FLAIR MR image.
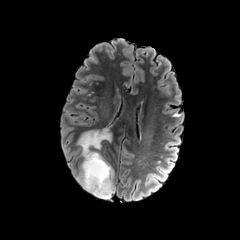
T1-weighted magnetic resonance.
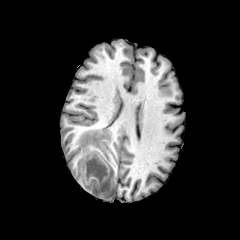
Post-contrast T1-weighted magnetic resonance.
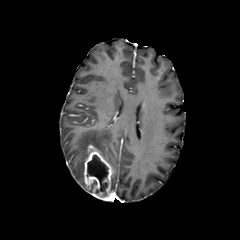
T2-weighted MR image.
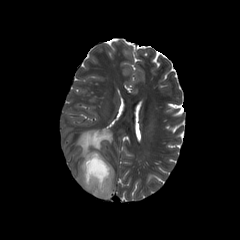
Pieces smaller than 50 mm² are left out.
enhancing tumor = <box>83,145,114,200</box>
peritumoral edema = <box>76,128,111,190</box>
necrotic tumor core = <box>87,155,108,195</box>